FLAIR MRI.
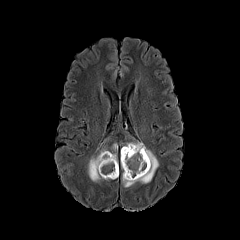
T1-weighted magnetic resonance.
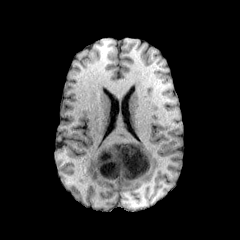
Post-contrast T1-weighted MR image.
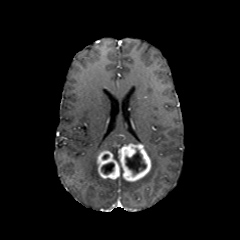
T2-weighted MRI.
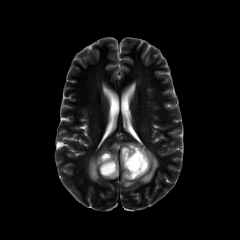
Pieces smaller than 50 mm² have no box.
necrotic tumor core: [x1=125, y1=149, x2=146, y2=175], [x1=101, y1=162, x2=114, y2=174] | peritumoral edema: [x1=122, y1=145, x2=158, y2=187], [x1=88, y1=156, x2=108, y2=182], [x1=111, y1=143, x2=117, y2=161] | enhancing tumor: [x1=118, y1=143, x2=151, y2=181], [x1=97, y1=150, x2=119, y2=179]